Image width 240 mm, 1.00 mm slice spacing; Head; 240x240; Axial plane
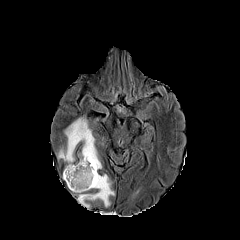
FLAIR MR image.
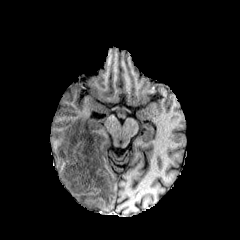
T1-weighted MRI of the same slice.
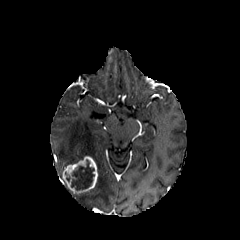
Post-contrast T1-weighted MR.
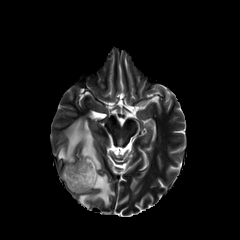
T2-weighted magnetic resonance.
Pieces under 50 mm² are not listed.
enhancing tumor = box(62, 156, 98, 194)
peritumoral edema = box(77, 174, 114, 208); box(58, 117, 101, 169)
necrotic tumor core = box(71, 160, 94, 190)